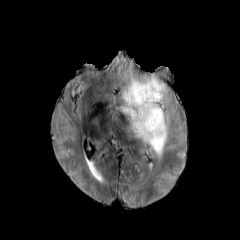
FLAIR MR.
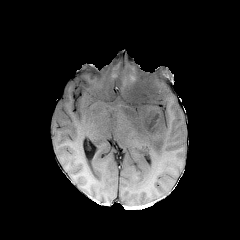
T1-weighted magnetic resonance.
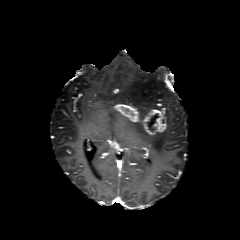
Post-contrast T1-weighted MRI of the same slice.
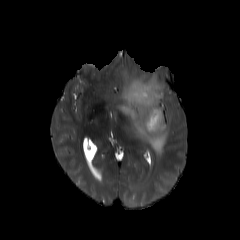
Same slice, T2-weighted MRI.
Axial slice | Brain
The necrotic tumor core is located at 147:113:158:131. 2 peritumoral edema regions are bounded by 119:72:168:118, 128:110:170:157. The enhancing tumor lies within 115:104:166:134.